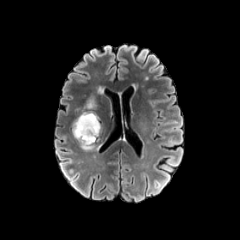
FLAIR MRI.
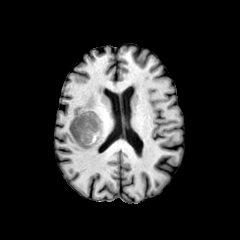
Same slice, T1-weighted MRI.
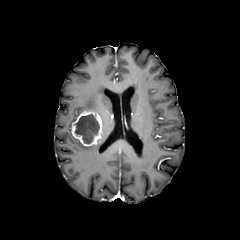
Post-contrast T1-weighted MR image of the same slice.
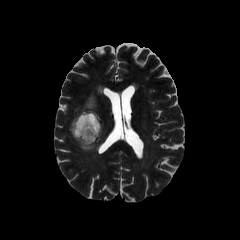
T2-weighted MR.
Brain; Axial view
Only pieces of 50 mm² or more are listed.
necrotic_tumor_core:
  - {"x1": 75, "y1": 114, "x2": 99, "y2": 143}
peritumoral_edema:
  - {"x1": 80, "y1": 143, "x2": 95, "y2": 150}
  - {"x1": 84, "y1": 96, "x2": 96, "y2": 110}
enhancing_tumor:
  - {"x1": 71, "y1": 111, "x2": 102, "y2": 146}